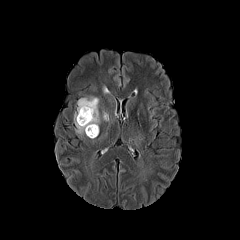
FLAIR MR image.
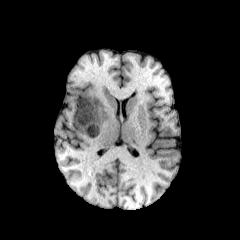
T1-weighted MR image.
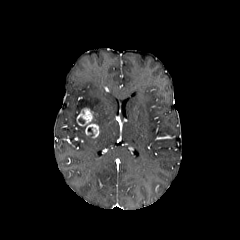
Post-contrast T1-weighted MRI.
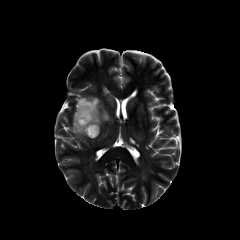
Same slice, T2-weighted MR image.
Axial slice | Head
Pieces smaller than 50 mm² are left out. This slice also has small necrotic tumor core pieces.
The 2 largest peritumoral edema regions are located at {"x1": 73, "y1": 96, "x2": 100, "y2": 135}, {"x1": 102, "y1": 110, "x2": 109, "y2": 121}. The enhancing tumor is bounded by {"x1": 76, "y1": 107, "x2": 99, "y2": 138}.